FLAIR MR.
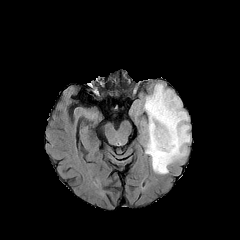
T1-weighted magnetic resonance.
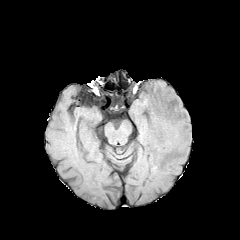
Post-contrast T1-weighted MR image.
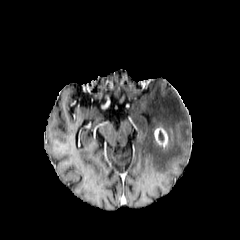
T2-weighted magnetic resonance.
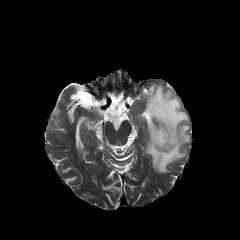
Head, Axial plane
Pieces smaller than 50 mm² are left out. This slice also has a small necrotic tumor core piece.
The enhancing tumor lies within x1=154, y1=127, x2=168, y2=148. The peritumoral edema is located at x1=143, y1=83, x2=190, y2=173.